FLAIR MRI.
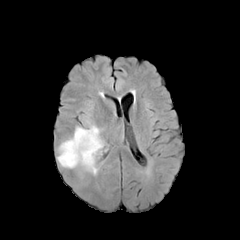
T1-weighted magnetic resonance.
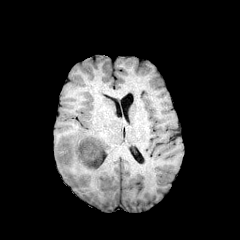
Post-contrast T1-weighted MR.
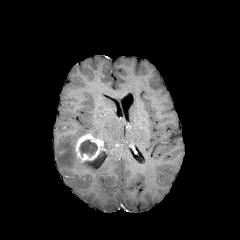
T2-weighted MRI.
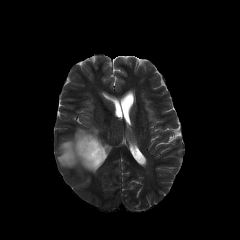
Axial plane, Brain, 240x240
enhancing tumor: box(75, 133, 102, 161) | necrotic tumor core: box(80, 140, 97, 154) | peritumoral edema: box(57, 125, 103, 174)